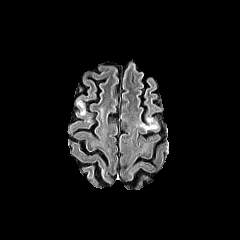
FLAIR magnetic resonance.
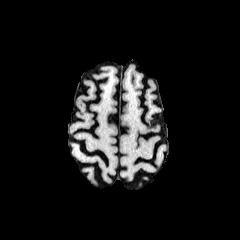
T1-weighted MR of the same slice.
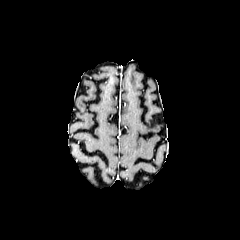
Same slice, post-contrast T1-weighted MR.
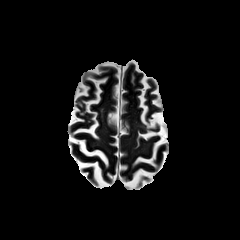
T2-weighted MRI.
Axial slice
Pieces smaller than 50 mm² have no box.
peritumoral edema: 140:123:157:131